Axial plane. 240x240 px. Brain.
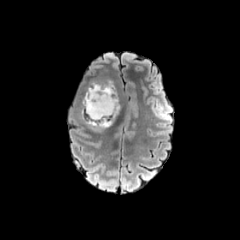
FLAIR MR image.
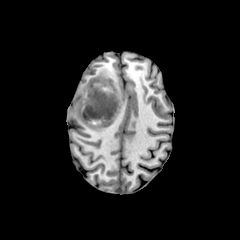
T1-weighted MR.
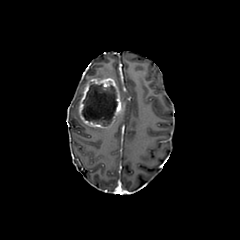
Post-contrast T1-weighted MR image.
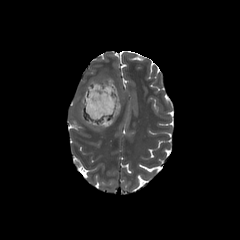
T2-weighted MR of the same slice.
peritumoral edema: bounding box [90,127,104,132]
necrotic tumor core: bounding box [82,83,117,126]
enhancing tumor: bounding box [78,78,122,128]